FLAIR MR.
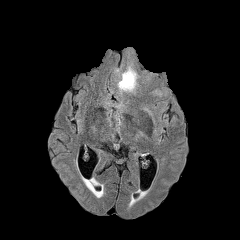
T1-weighted MRI.
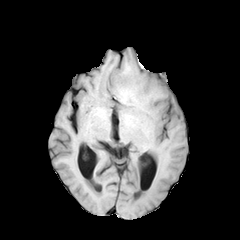
Post-contrast T1-weighted MR image.
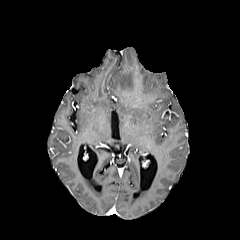
T2-weighted magnetic resonance.
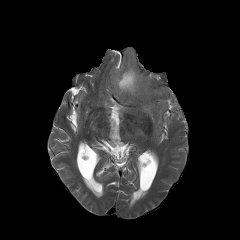
Brain; 240x240 px
Findings:
* peritumoral edema: x1=118, y1=67, x2=138, y2=91